Axial view
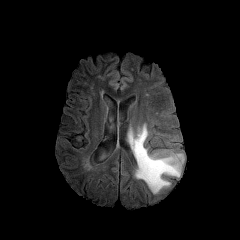
FLAIR MR image.
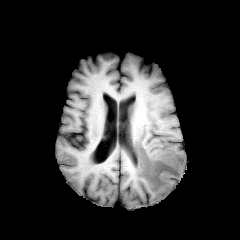
Same slice, T1-weighted MR image.
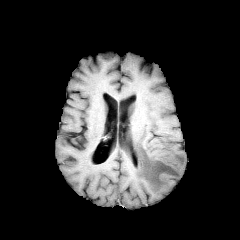
Post-contrast T1-weighted magnetic resonance of the same slice.
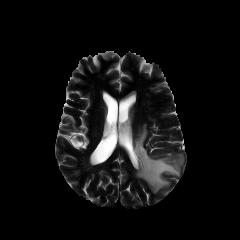
T2-weighted magnetic resonance.
The peritumoral edema is at bbox(129, 125, 184, 193).